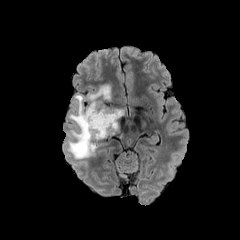
FLAIR MR image.
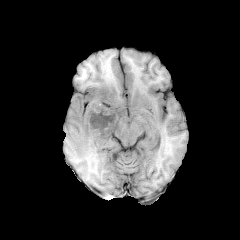
T1-weighted magnetic resonance of the same slice.
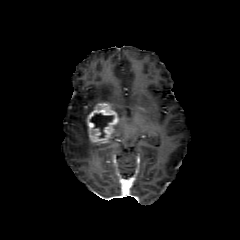
Post-contrast T1-weighted MRI.
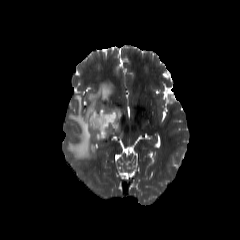
T2-weighted magnetic resonance.
Axial slice. Head.
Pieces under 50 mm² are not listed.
<segmentation>
  <peritumoral_edema>box=[66, 84, 111, 159]</peritumoral_edema>
  <enhancing_tumor>box=[86, 102, 119, 143]</enhancing_tumor>
  <necrotic_tumor_core>box=[91, 113, 112, 137]</necrotic_tumor_core>
</segmentation>